Axial plane. Image width 240 mm, 1.00 mm slice spacing.
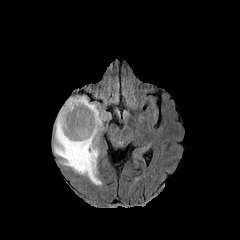
FLAIR MR image.
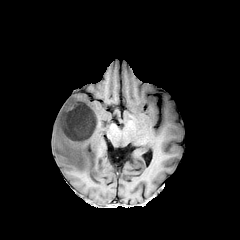
T1-weighted MR image.
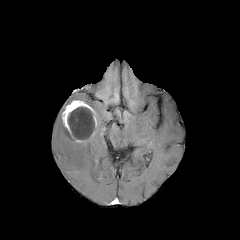
Same slice, post-contrast T1-weighted magnetic resonance.
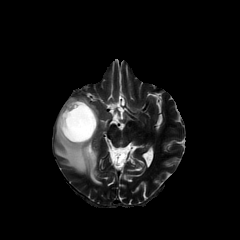
T2-weighted MR image of the same slice.
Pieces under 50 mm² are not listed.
{"necrotic_tumor_core": ["[68, 107, 95, 139]"], "enhancing_tumor": ["[61, 100, 97, 142]"], "peritumoral_edema": ["[53, 96, 106, 184]"]}